FLAIR MR image.
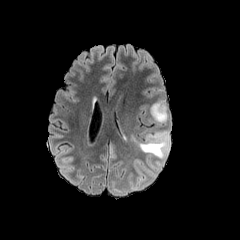
T1-weighted MR.
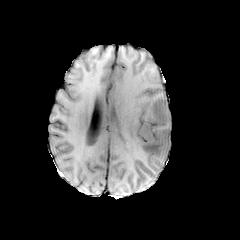
Post-contrast T1-weighted magnetic resonance.
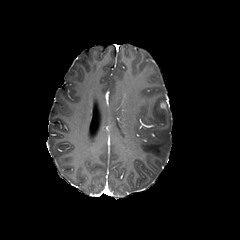
T2-weighted MRI.
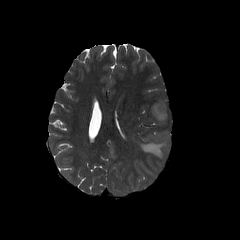
Brain. 240x240 px.
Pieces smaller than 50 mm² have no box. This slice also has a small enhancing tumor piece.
peritumoral edema at [150,100,168,122], [132,131,170,170]